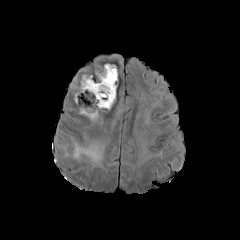
FLAIR MR.
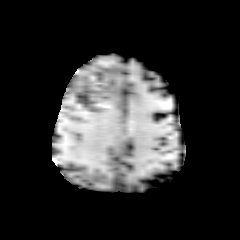
T1-weighted magnetic resonance.
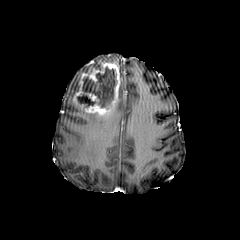
Same slice, post-contrast T1-weighted MR image.
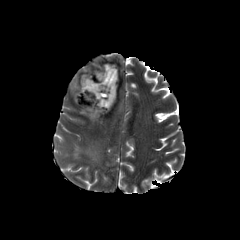
Same slice, T2-weighted MRI.
Head, Axial plane
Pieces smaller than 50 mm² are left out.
enhancing tumor at box(73, 63, 120, 117)
necrotic tumor core at box(82, 67, 117, 107); box(77, 94, 95, 106)
peritumoral edema at box(80, 109, 99, 121); box(72, 144, 103, 162)